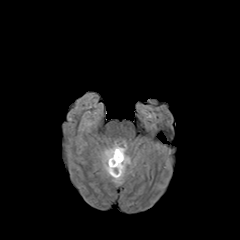
FLAIR MR.
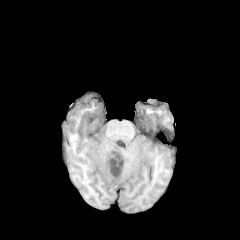
T1-weighted MRI.
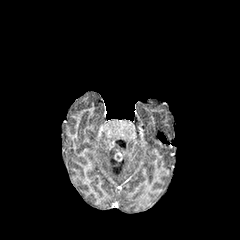
Post-contrast T1-weighted MRI.
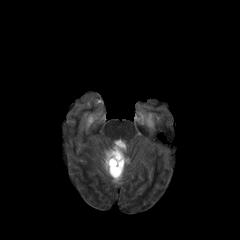
T2-weighted MRI.
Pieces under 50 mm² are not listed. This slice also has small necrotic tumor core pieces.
The enhancing tumor is at (left=110, top=150, right=122, bottom=174). The largest peritumoral edema region lies within (left=102, top=143, right=130, bottom=183).